FLAIR magnetic resonance.
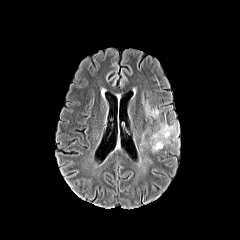
T1-weighted MRI.
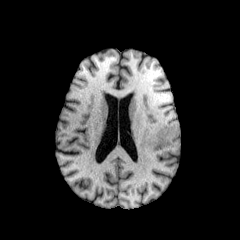
Post-contrast T1-weighted magnetic resonance.
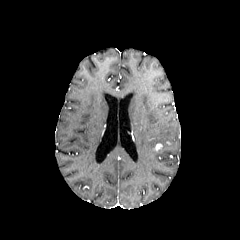
T2-weighted MR image.
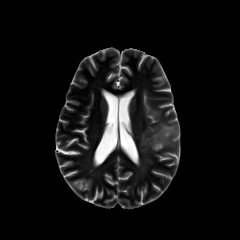
Brain
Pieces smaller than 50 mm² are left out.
The largest peritumoral edema region appears at <bbox>150, 123, 178, 150</bbox>. The enhancing tumor lies within <bbox>153, 143, 162, 151</bbox>.